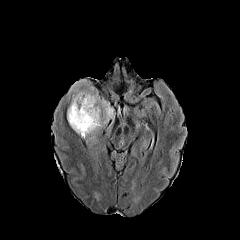
FLAIR MR.
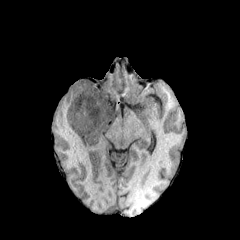
T1-weighted MRI.
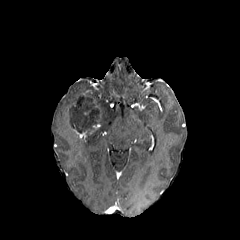
Post-contrast T1-weighted magnetic resonance.
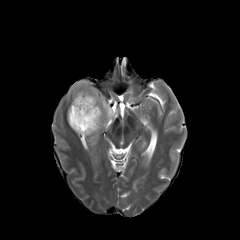
T2-weighted MRI.
Head.
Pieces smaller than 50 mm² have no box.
enhancing tumor — rect(73, 129, 89, 136)
peritumoral edema — rect(68, 80, 114, 127)
necrotic tumor core — rect(69, 96, 102, 133)